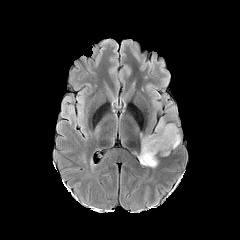
FLAIR MRI.
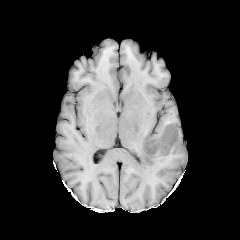
T1-weighted MR image of the same slice.
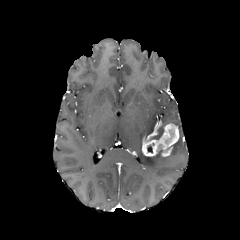
Post-contrast T1-weighted MR image.
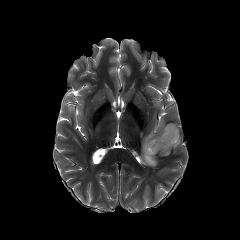
T2-weighted MRI.
240x240, Head, Axial plane
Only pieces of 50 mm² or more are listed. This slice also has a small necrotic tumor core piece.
<segmentation>
  <peritumoral_edema>(139,148,157,167), (150,119,165,139)</peritumoral_edema>
  <enhancing_tumor>(142,121,179,156)</enhancing_tumor>
</segmentation>